Image size 240x240, Axial view, Slice index 105, Head
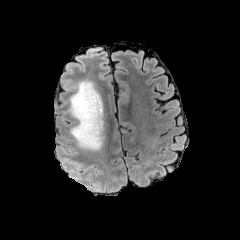
FLAIR magnetic resonance.
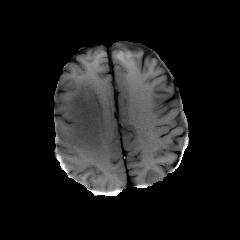
T1-weighted magnetic resonance.
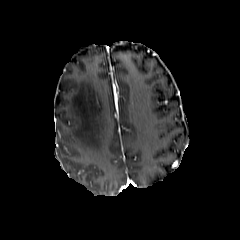
Post-contrast T1-weighted MR image.
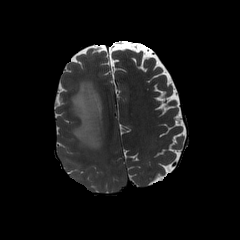
T2-weighted magnetic resonance.
peritumoral edema: bbox(69, 80, 103, 150)